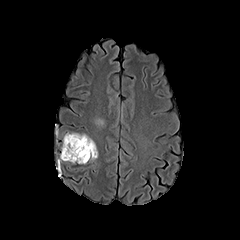
FLAIR MR image.
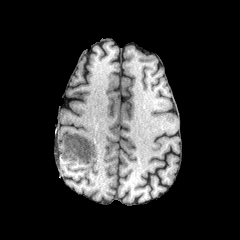
Same slice, T1-weighted magnetic resonance.
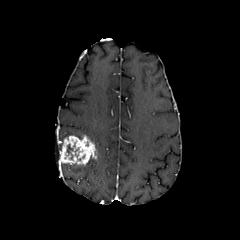
Post-contrast T1-weighted MR image.
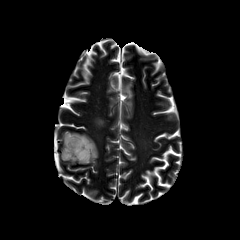
T2-weighted MRI.
Head, Axial plane
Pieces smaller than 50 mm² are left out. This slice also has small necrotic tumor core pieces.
The enhancing tumor appears at (59, 135, 97, 164). The 2 largest peritumoral edema regions are located at (94, 118, 104, 126), (63, 132, 85, 140).